Brain
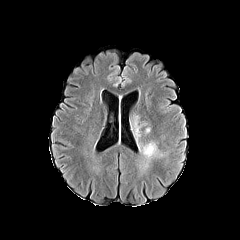
FLAIR MR image.
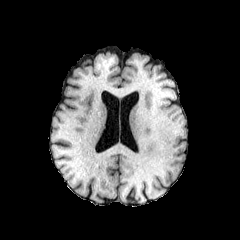
T1-weighted MR image.
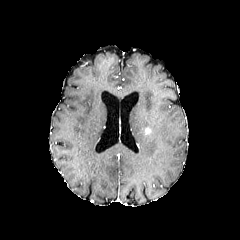
Post-contrast T1-weighted magnetic resonance of the same slice.
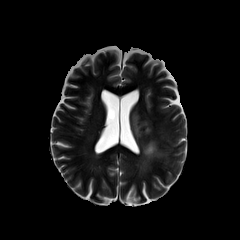
T2-weighted MRI.
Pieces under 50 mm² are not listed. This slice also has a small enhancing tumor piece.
- peritumoral edema: bbox=[138, 142, 163, 173]; bbox=[130, 113, 147, 140]